Head; Axial view
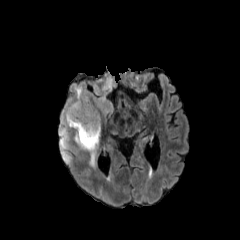
FLAIR MR image.
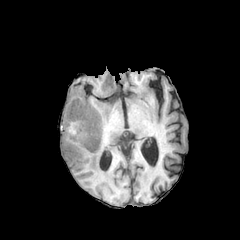
T1-weighted MRI.
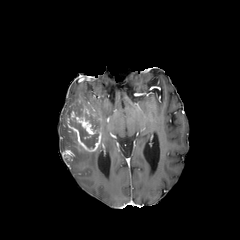
Post-contrast T1-weighted MR of the same slice.
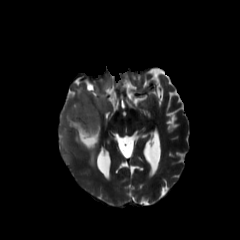
T2-weighted MR.
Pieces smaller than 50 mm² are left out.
enhancing tumor at <box>60,95,101,162</box>
peritumoral edema at <box>59,75,116,149</box>, <box>87,148,100,169</box>
necrotic tumor core at <box>85,114,98,129</box>, <box>70,118,98,147</box>